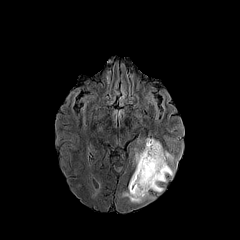
FLAIR MRI.
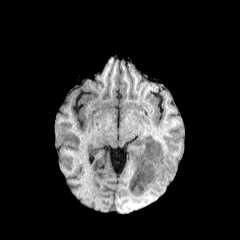
T1-weighted MR.
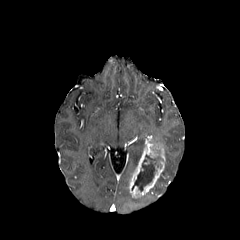
Post-contrast T1-weighted MR image.
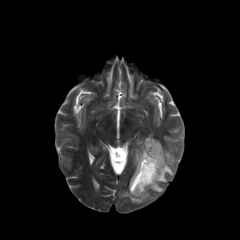
Same slice, T2-weighted MR.
Brain.
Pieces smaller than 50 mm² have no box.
Segmented structures:
- necrotic tumor core: x1=132 y1=154 x2=160 y2=191
- peritumoral edema: x1=151 y1=150 x2=177 y2=192, x1=134 y1=148 x2=142 y2=164, x1=121 y1=190 x2=155 y2=202
- enhancing tumor: x1=129 y1=137 x2=165 y2=197